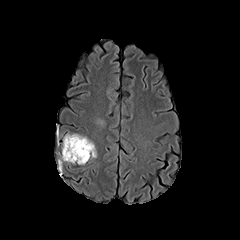
FLAIR magnetic resonance.
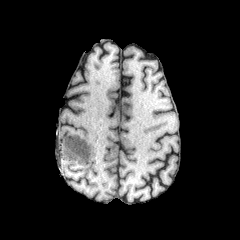
T1-weighted magnetic resonance.
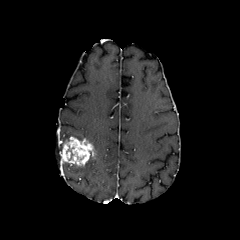
Post-contrast T1-weighted MRI.
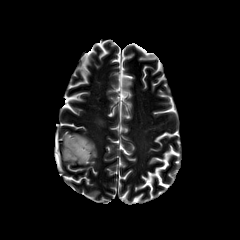
T2-weighted magnetic resonance.
Image size 240x240
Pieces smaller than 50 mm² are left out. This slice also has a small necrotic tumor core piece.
enhancing_tumor:
  - l=60, t=136, r=95, b=165
peritumoral_edema:
  - l=63, t=133, r=96, b=158